Axial view; Head; Image width 240 mm; Slice 85/155; Image size 240x240
FLAIR MR image.
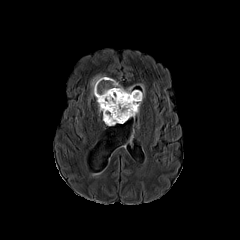
T1-weighted MRI.
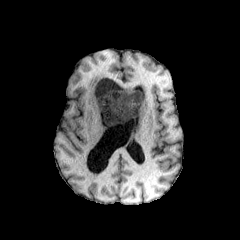
Post-contrast T1-weighted MRI.
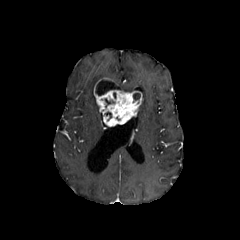
T2-weighted MRI.
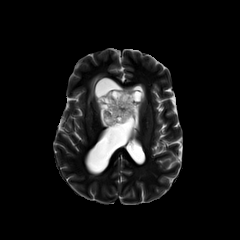
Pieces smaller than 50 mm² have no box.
The largest necrotic tumor core region is bounded by 96 80 119 95. The enhancing tumor appears at 94 78 142 126. The 2 largest peritumoral edema regions are bounded by 90 75 108 97, 110 78 133 92.